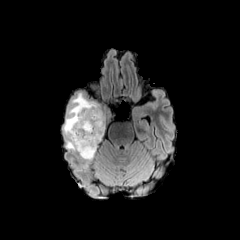
FLAIR MR image.
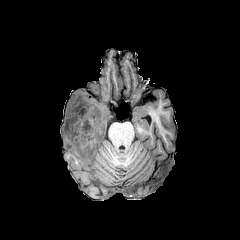
T1-weighted MR image.
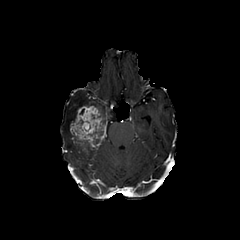
Post-contrast T1-weighted MRI.
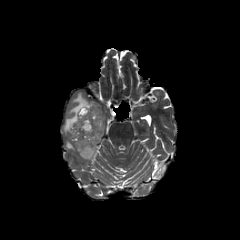
Same slice, T2-weighted MR.
Axial slice.
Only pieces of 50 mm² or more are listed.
The enhancing tumor lies within bbox=[69, 105, 107, 161]. The 2 largest peritumoral edema regions are bounded by bbox=[82, 149, 96, 161]; bbox=[63, 92, 102, 157]. The largest necrotic tumor core region appears at bbox=[73, 135, 85, 155].